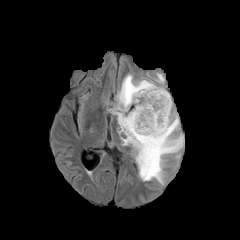
FLAIR MR image.
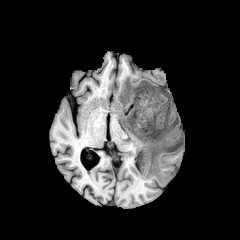
T1-weighted MR image.
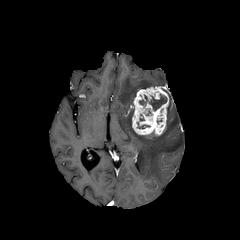
Post-contrast T1-weighted MR image of the same slice.
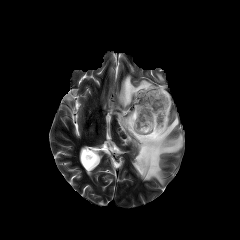
T2-weighted MRI of the same slice.
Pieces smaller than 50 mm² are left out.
necrotic tumor core: {"x1": 150, "y1": 94, "x2": 166, "y2": 110} | enhancing tumor: {"x1": 132, "y1": 86, "x2": 170, "y2": 137} | peritumoral edema: {"x1": 112, "y1": 74, "x2": 184, "y2": 184}, {"x1": 156, "y1": 73, "x2": 164, "y2": 83}